FLAIR MR image.
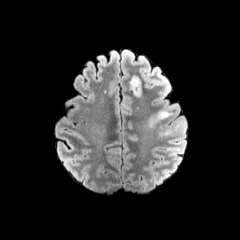
T1-weighted magnetic resonance.
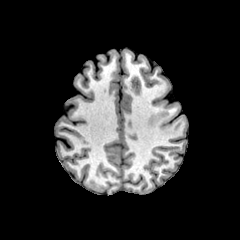
Post-contrast T1-weighted MRI.
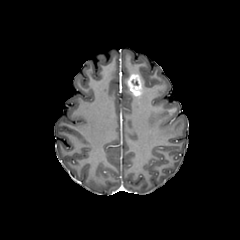
T2-weighted MRI.
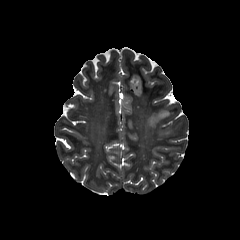
Axial slice
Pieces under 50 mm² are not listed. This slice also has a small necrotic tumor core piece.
{
  "enhancing_tumor": [
    "(left=128, top=74, right=141, bottom=96)"
  ],
  "peritumoral_edema": [
    "(left=149, top=111, right=168, bottom=127)"
  ]
}